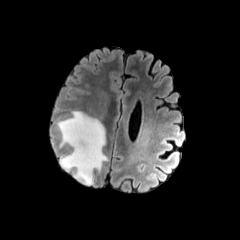
FLAIR magnetic resonance.
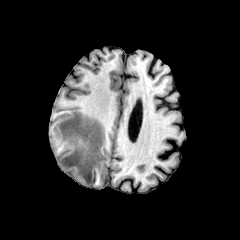
T1-weighted MR.
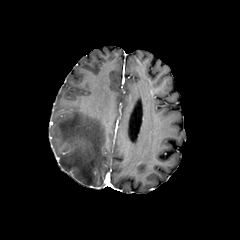
Post-contrast T1-weighted magnetic resonance.
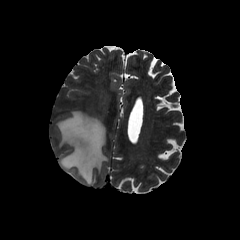
Same slice, T2-weighted magnetic resonance.
peritumoral_edema:
  - left=57, top=111, right=107, bottom=184